FLAIR MR.
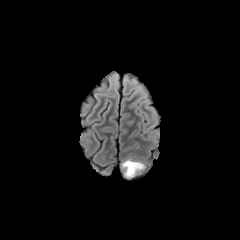
T1-weighted magnetic resonance.
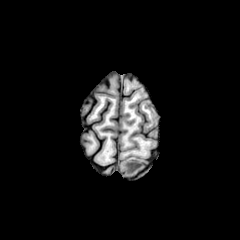
Post-contrast T1-weighted MR.
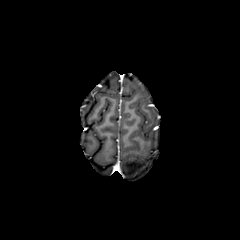
T2-weighted MR.
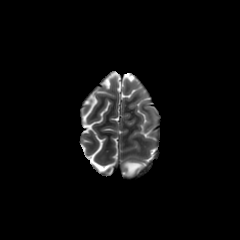
240x240 px.
peritumoral edema: x1=122, y1=160, x2=144, y2=178